FLAIR MRI.
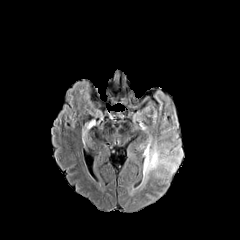
T1-weighted MR.
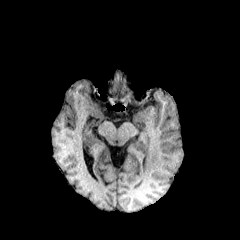
Post-contrast T1-weighted MR.
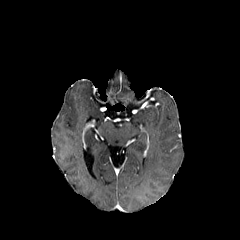
T2-weighted MR image.
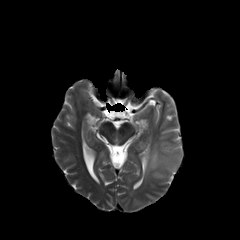
Image size 240x240, Axial plane
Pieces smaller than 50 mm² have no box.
peritumoral edema: 143, 140, 182, 179